FLAIR MR image.
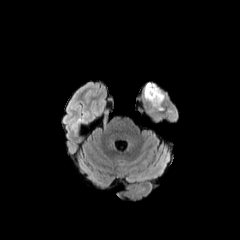
T1-weighted magnetic resonance.
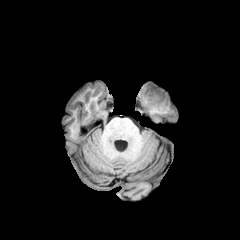
Post-contrast T1-weighted magnetic resonance.
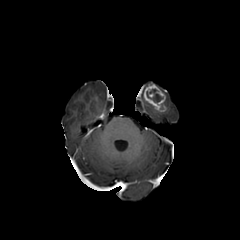
T2-weighted magnetic resonance.
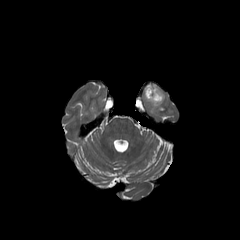
Brain | Axial slice
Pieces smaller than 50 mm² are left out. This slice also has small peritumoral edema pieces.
The enhancing tumor is at (x1=143, y1=83, x2=166, y2=111). The largest necrotic tumor core region is located at (x1=150, y1=89, x2=162, y2=102).